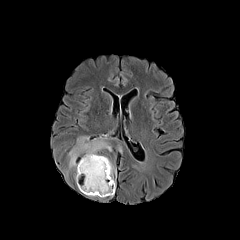
FLAIR MR image.
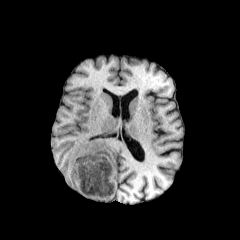
T1-weighted MR.
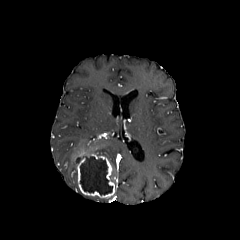
Same slice, post-contrast T1-weighted MRI.
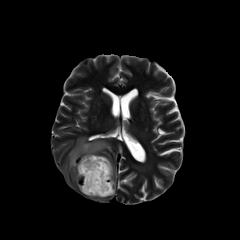
Same slice, T2-weighted MRI.
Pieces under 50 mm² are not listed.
The largest necrotic tumor core region appears at x1=80 y1=156 x2=112 y2=194. The largest enhancing tumor region is at x1=77 y1=153 x2=115 y2=198. The largest peritumoral edema region is bounded by x1=68 y1=135 x2=112 y2=180.